FLAIR MR.
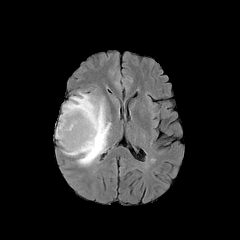
T1-weighted magnetic resonance.
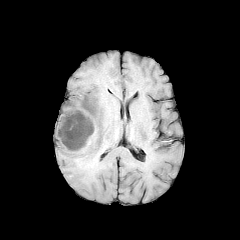
Post-contrast T1-weighted magnetic resonance.
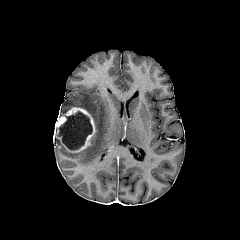
T2-weighted MRI.
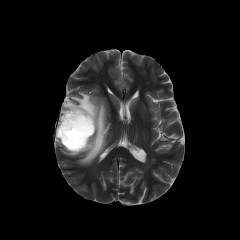
Axial view, 240x240, Brain
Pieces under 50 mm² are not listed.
enhancing tumor — (55,107,95,152)
peritumoral edema — (62,91,110,165)
necrotic tumor core — (56,111,92,150)